FLAIR MRI.
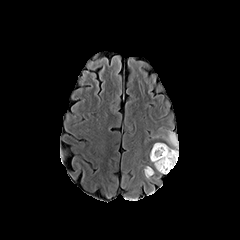
T1-weighted MR image.
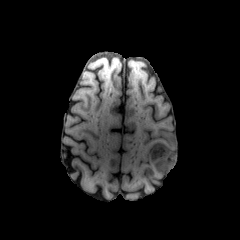
Post-contrast T1-weighted MRI.
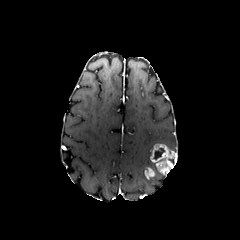
T2-weighted MR.
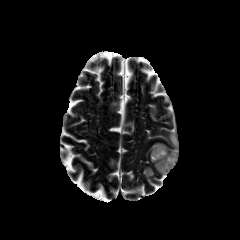
Brain. Axial view.
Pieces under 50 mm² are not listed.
{"peritumoral_edema": ["(x1=164, y1=130, x2=178, y2=148)"], "necrotic_tumor_core": ["(x1=153, y1=148, x2=164, y2=159)"], "enhancing_tumor": ["(x1=144, y1=167, x2=154, y2=178)", "(x1=150, y1=143, x2=177, y2=174)"]}